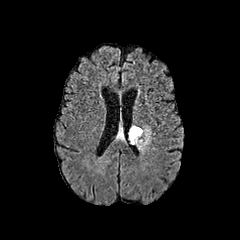
FLAIR MRI.
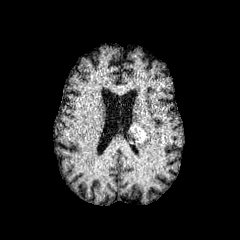
T1-weighted MR.
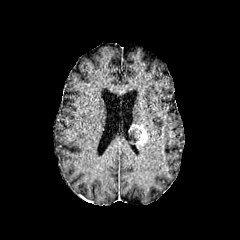
Post-contrast T1-weighted magnetic resonance.
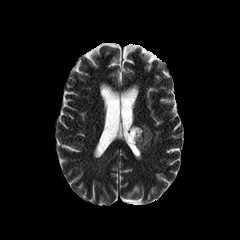
Same slice, T2-weighted MRI.
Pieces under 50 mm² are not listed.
peritumoral edema: [137,125,151,152] | enhancing tumor: [129,125,149,146] | necrotic tumor core: [131,128,141,142]